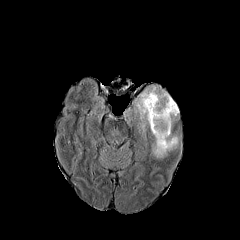
FLAIR magnetic resonance.
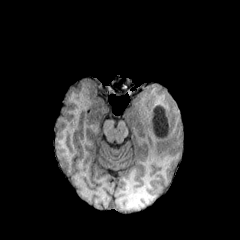
T1-weighted MR.
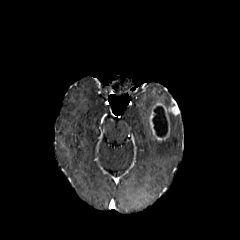
Same slice, post-contrast T1-weighted MR image.
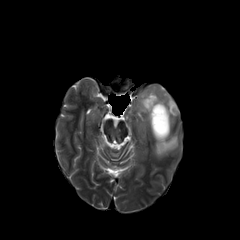
T2-weighted MR image.
Brain
necrotic_tumor_core:
  - rect(152, 106, 167, 137)
peritumoral_edema:
  - rect(136, 86, 172, 130)
  - rect(152, 132, 178, 157)
  - rect(169, 113, 176, 130)
enhancing_tumor:
  - rect(149, 100, 179, 141)